Slice index 98, Axial plane, Brain
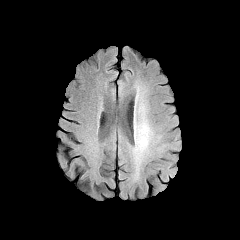
FLAIR MRI.
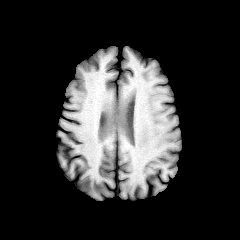
T1-weighted MRI.
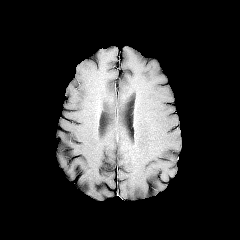
Same slice, post-contrast T1-weighted MR.
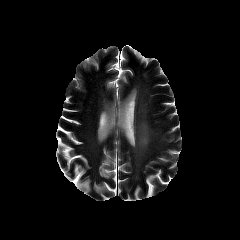
T2-weighted MR image.
<segmentation>
  <peritumoral_edema>135, 121, 151, 151</peritumoral_edema>
</segmentation>